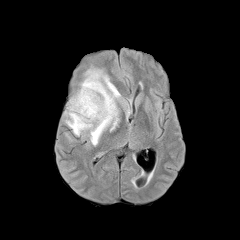
FLAIR MRI.
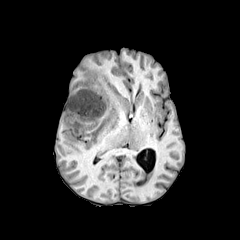
Same slice, T1-weighted MR image.
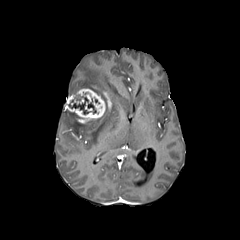
Same slice, post-contrast T1-weighted magnetic resonance.
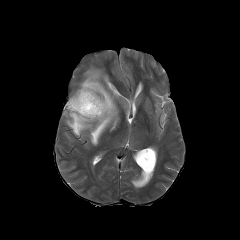
T2-weighted MR image.
Head; Axial view
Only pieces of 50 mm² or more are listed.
enhancing tumor = <box>65,88,111,123</box>
necrotic tumor core = <box>68,97,96,114</box>
peritumoral edema = <box>65,68,120,145</box>